Axial plane
FLAIR MR.
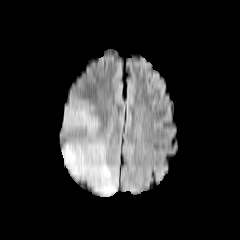
T1-weighted MR.
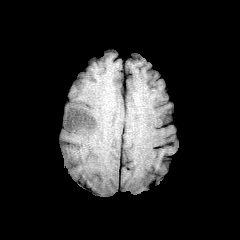
Post-contrast T1-weighted MR.
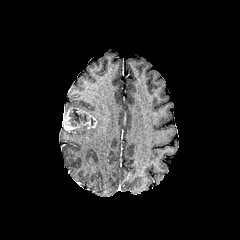
T2-weighted MRI.
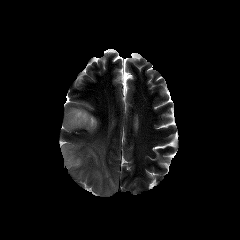
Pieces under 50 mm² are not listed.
Segmented structures:
• enhancing tumor: (x1=62, y1=107, x2=96, y2=131)
• peritumoral edema: (x1=73, y1=116, x2=98, y2=135), (x1=64, y1=102, x2=92, y2=113), (x1=61, y1=139, x2=117, y2=196)
• necrotic tumor core: (x1=69, y1=109, x2=88, y2=126)